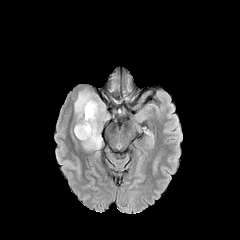
FLAIR MR image.
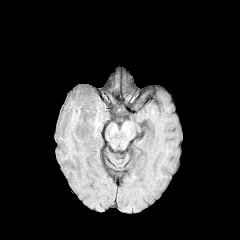
T1-weighted MR image.
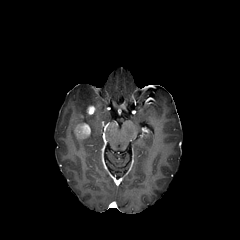
Post-contrast T1-weighted magnetic resonance.
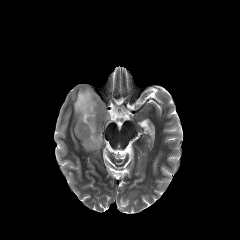
Same slice, T2-weighted MR image.
Head
{
  "peritumoral_edema": [
    "box(74, 88, 109, 154)"
  ],
  "enhancing_tumor": [
    "box(74, 123, 90, 138)",
    "box(87, 106, 95, 114)"
  ]
}